FLAIR MR.
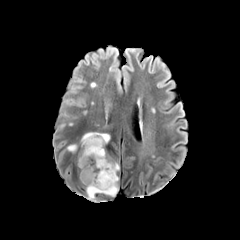
T1-weighted MR image.
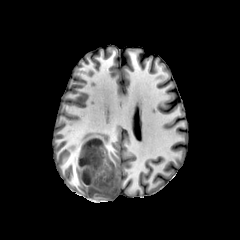
Post-contrast T1-weighted MR image.
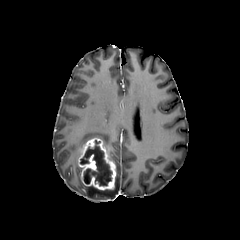
T2-weighted magnetic resonance.
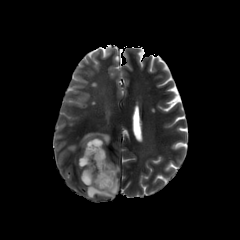
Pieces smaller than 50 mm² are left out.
necrotic tumor core = box=[80, 140, 112, 185]
peritumoral edema = box=[67, 144, 76, 152]; box=[87, 175, 118, 199]; box=[81, 132, 110, 146]
enhancing tumor = box=[78, 138, 115, 190]